Image size 240x240
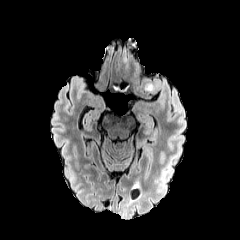
FLAIR MRI.
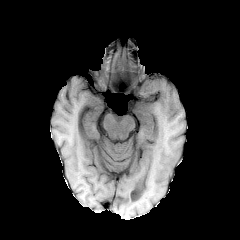
T1-weighted magnetic resonance.
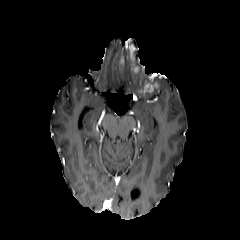
Post-contrast T1-weighted MR of the same slice.
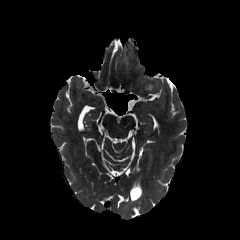
T2-weighted MR image.
Segmented structures:
• enhancing tumor: 125:39:139:73, 144:82:159:92, 120:57:126:67